FLAIR MR image.
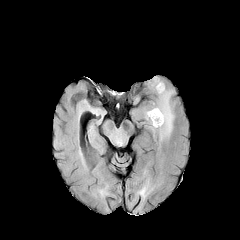
T1-weighted MRI.
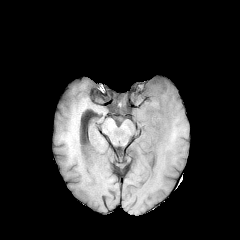
Post-contrast T1-weighted magnetic resonance.
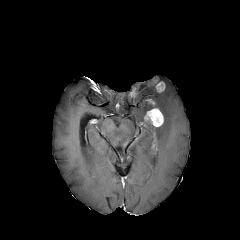
T2-weighted MR image.
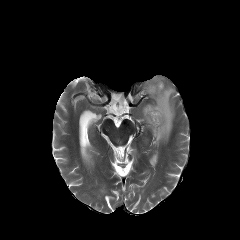
Head.
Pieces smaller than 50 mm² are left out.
The 2 largest enhancing tumor regions appear at x1=151, y1=79, x2=165, y2=92; x1=144, y1=108, x2=163, y2=126. The largest peritumoral edema region lies within x1=144, y1=79, x2=174, y2=140.